Image size 240x240, Axial slice, Slice 95 of 155, Head
FLAIR MR image.
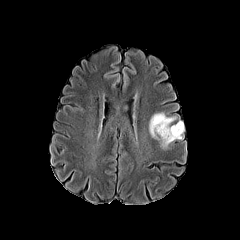
T1-weighted MR.
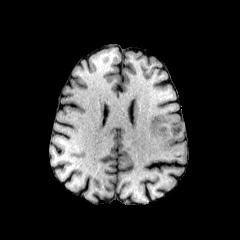
Post-contrast T1-weighted MR.
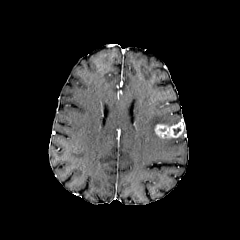
T2-weighted MRI.
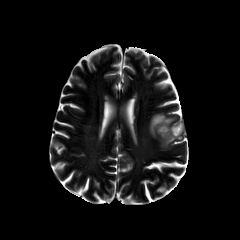
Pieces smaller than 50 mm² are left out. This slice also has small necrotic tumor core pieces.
enhancing tumor — (154, 122, 184, 138)
peritumoral edema — (149, 112, 182, 148)